FLAIR MR image.
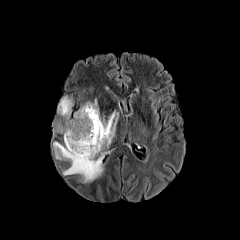
T1-weighted MRI.
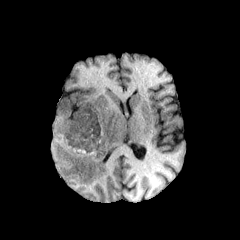
Post-contrast T1-weighted magnetic resonance.
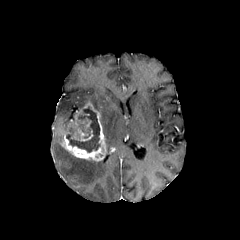
T2-weighted MR.
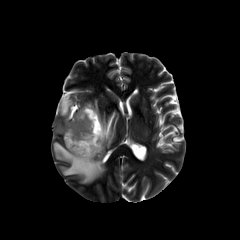
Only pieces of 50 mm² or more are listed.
The 3 largest peritumoral edema regions appear at 100 110 118 147, 57 96 73 119, 53 141 104 183. The enhancing tumor lies within 61 102 106 161. The largest necrotic tumor core region is at 66 107 100 152.